240x240 px
FLAIR MR.
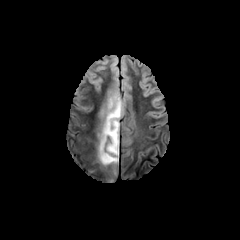
T1-weighted MRI.
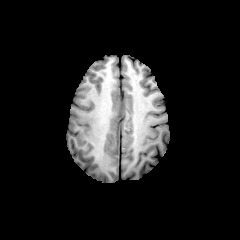
Post-contrast T1-weighted magnetic resonance.
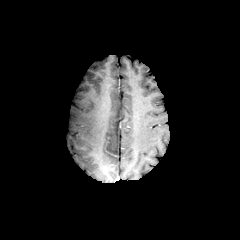
T2-weighted MR.
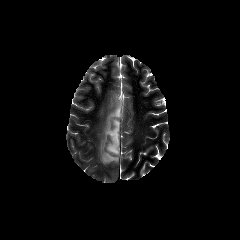
peritumoral_edema:
  - <box>98,102,121,164</box>